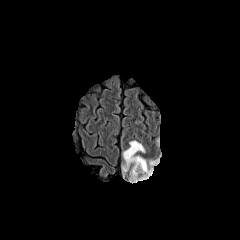
FLAIR MR image.
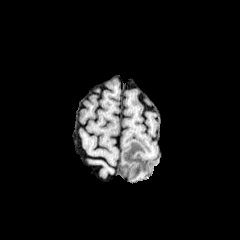
Same slice, T1-weighted MR image.
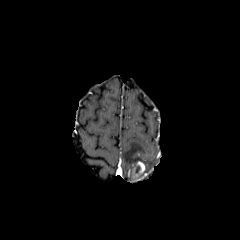
Post-contrast T1-weighted MRI.
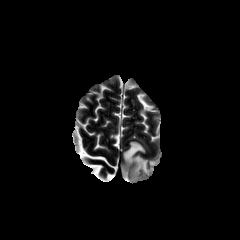
T2-weighted magnetic resonance.
Brain | Axial view
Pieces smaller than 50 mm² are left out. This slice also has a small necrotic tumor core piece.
enhancing tumor: x1=123 y1=161 x2=150 y2=181 | peritumoral edema: x1=122 y1=141 x2=158 y2=173